FLAIR magnetic resonance.
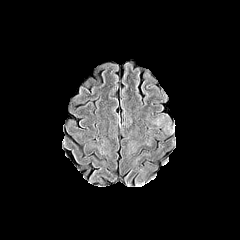
T1-weighted MR.
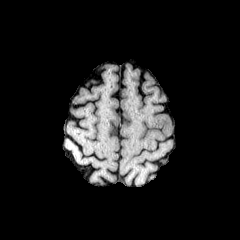
Post-contrast T1-weighted MRI.
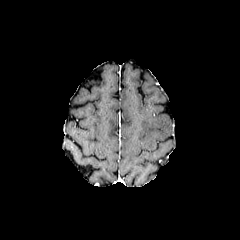
T2-weighted MR image.
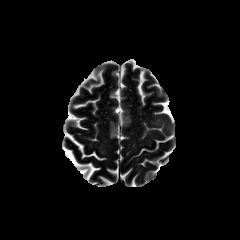
Segmented structures:
* peritumoral edema: bbox=[150, 116, 165, 125]; bbox=[165, 121, 173, 134]